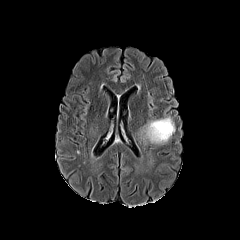
FLAIR magnetic resonance.
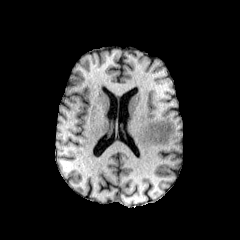
T1-weighted magnetic resonance of the same slice.
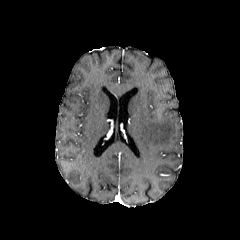
Post-contrast T1-weighted MR image.
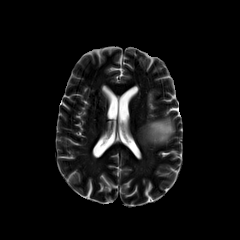
T2-weighted MR image.
Head. 240x240 px. Axial slice.
{"peritumoral_edema": ["[142, 117, 175, 143]"]}